Slice index 73, Head, Axial view
FLAIR MR image.
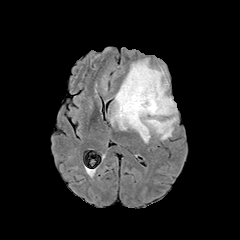
T1-weighted MR.
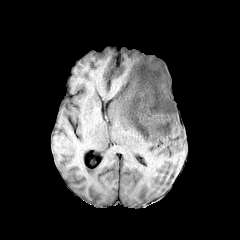
Post-contrast T1-weighted MR.
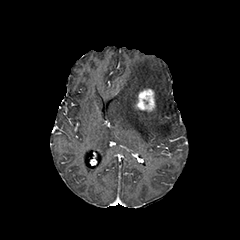
T2-weighted MRI.
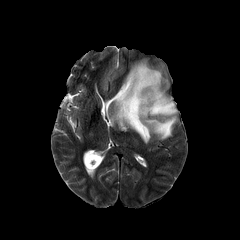
Segmented structures:
- enhancing tumor: [135,88,155,112]
- peritumoral edema: [110,59,177,143]